240x240 | Head | Axial view
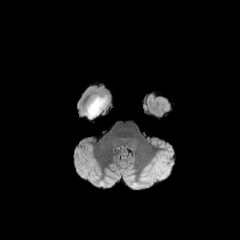
FLAIR MR.
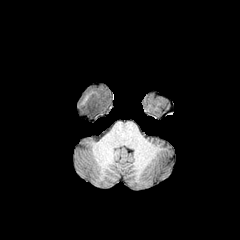
T1-weighted MR.
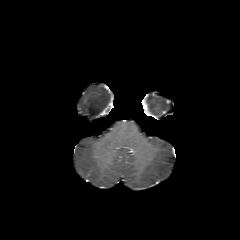
Post-contrast T1-weighted MRI.
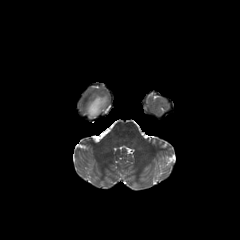
T2-weighted MR.
{"peritumoral_edema": ["(x1=85, y1=94, x2=107, y2=119)"]}